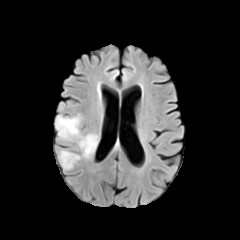
FLAIR magnetic resonance.
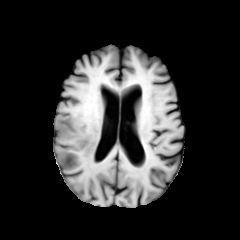
T1-weighted magnetic resonance of the same slice.
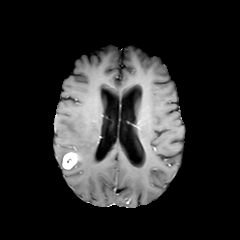
Post-contrast T1-weighted MRI.
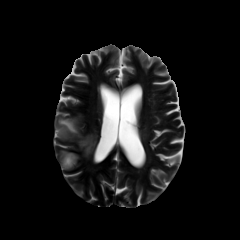
T2-weighted magnetic resonance.
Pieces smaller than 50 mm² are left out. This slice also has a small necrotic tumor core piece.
The enhancing tumor is at 62, 152, 78, 169. The 2 largest peritumoral edema regions appear at 55, 115, 97, 157; 59, 150, 69, 165.